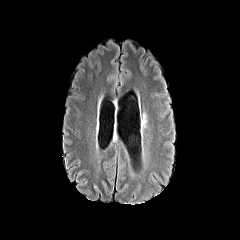
FLAIR MR image.
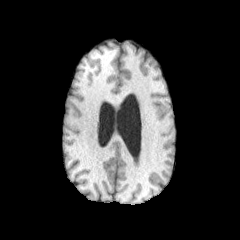
Same slice, T1-weighted MR.
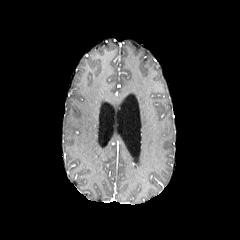
Post-contrast T1-weighted MR image.
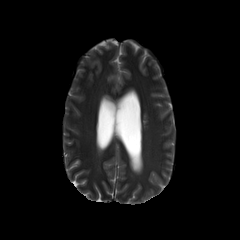
T2-weighted MR image.
Head
peritumoral edema: bounding box bbox=[141, 113, 145, 127]